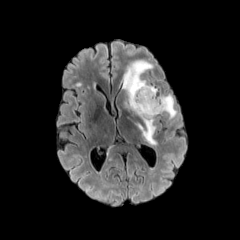
FLAIR magnetic resonance.
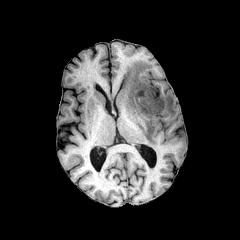
T1-weighted MRI of the same slice.
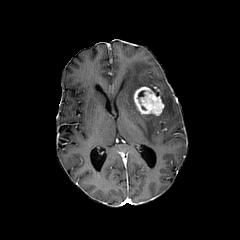
Post-contrast T1-weighted magnetic resonance.
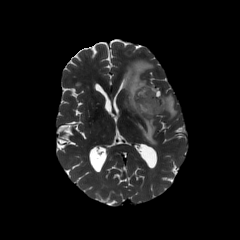
T2-weighted MRI.
Image size 240x240
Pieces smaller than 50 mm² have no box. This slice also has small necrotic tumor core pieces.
2 peritumoral edema regions are located at [123,60,157,145], [161,94,176,118]. The enhancing tumor lies within [133,86,164,115].